FLAIR MRI.
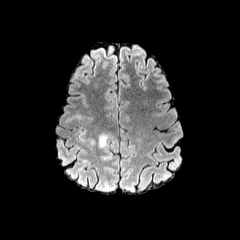
T1-weighted MR image.
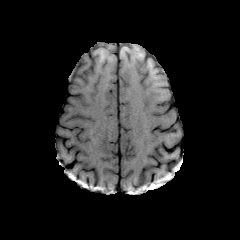
Post-contrast T1-weighted MR image.
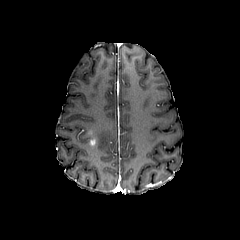
T2-weighted MRI.
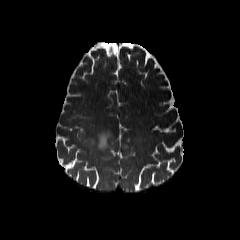
240x240.
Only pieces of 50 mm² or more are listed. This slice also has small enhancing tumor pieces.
peritumoral edema: 101:154:112:159, 79:139:94:147, 97:132:112:152